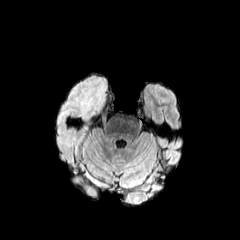
FLAIR magnetic resonance.
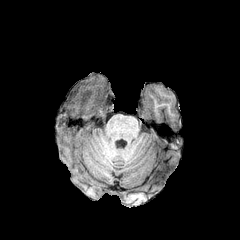
T1-weighted magnetic resonance.
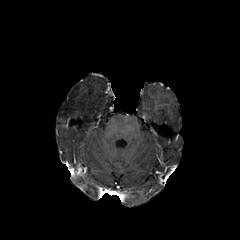
Post-contrast T1-weighted MR.
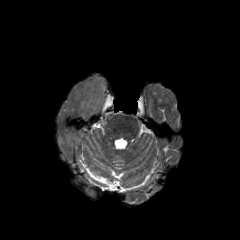
T2-weighted MRI.
Axial slice
The peritumoral edema lies within <bbox>56, 73, 109, 124</bbox>.